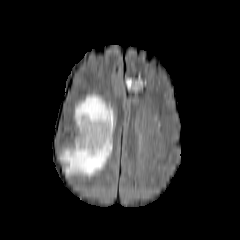
FLAIR MR.
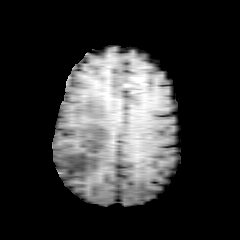
Same slice, T1-weighted MR.
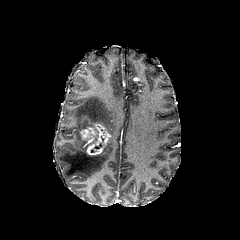
Same slice, post-contrast T1-weighted MR image.
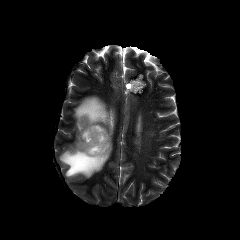
T2-weighted MR.
Brain | Image size 240x240
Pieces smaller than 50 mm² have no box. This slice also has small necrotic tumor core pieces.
peritumoral edema — bbox=[60, 95, 114, 177]
enhancing tumor — bbox=[80, 123, 110, 155]